Slice 56/155 | Brain
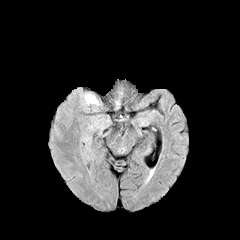
FLAIR MRI.
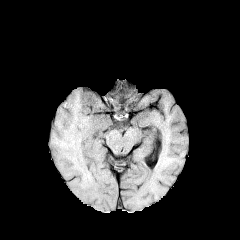
T1-weighted MR.
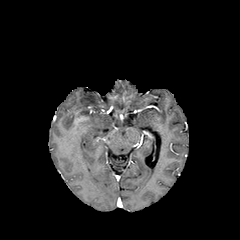
Post-contrast T1-weighted MR image.
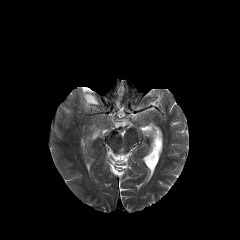
T2-weighted MR image.
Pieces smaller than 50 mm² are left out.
peritumoral_edema:
  - region(84, 94, 98, 104)